240x240, Axial slice, Brain
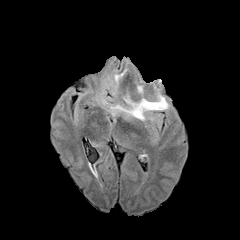
FLAIR magnetic resonance.
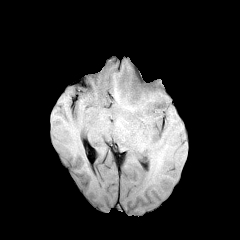
T1-weighted MR of the same slice.
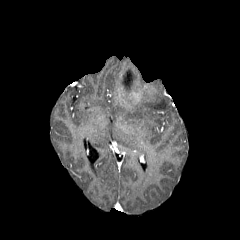
Post-contrast T1-weighted MRI of the same slice.
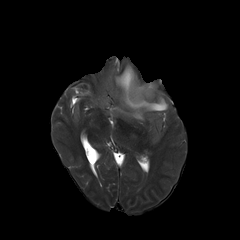
T2-weighted magnetic resonance of the same slice.
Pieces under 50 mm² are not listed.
The necrotic tumor core lies within (121,68,136,95). The 2 largest peritumoral edema regions are located at (109,89,168,120), (106,72,119,93). The 2 largest enhancing tumor regions are bounded by (117,68,127,96), (128,69,154,104).